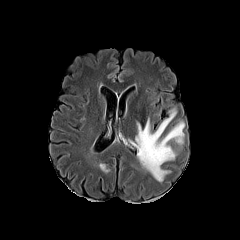
FLAIR magnetic resonance.
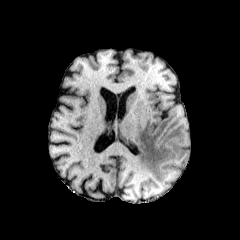
T1-weighted MR image.
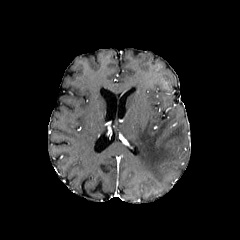
Same slice, post-contrast T1-weighted MR.
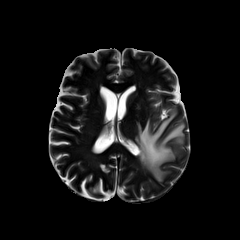
T2-weighted MR image of the same slice.
240x240 px
<segmentation>
  <peritumoral_edema>(128, 106, 184, 182)</peritumoral_edema>
</segmentation>